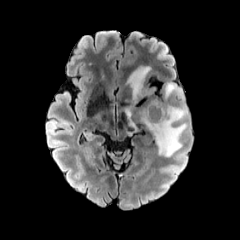
FLAIR magnetic resonance.
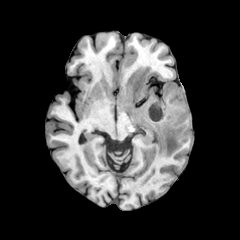
Same slice, T1-weighted MR image.
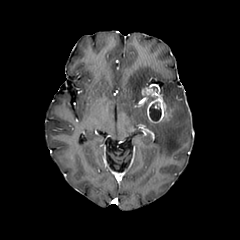
Post-contrast T1-weighted MR image of the same slice.
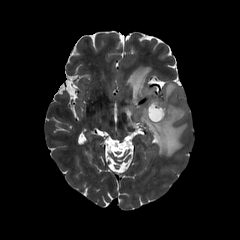
Same slice, T2-weighted MR.
<segmentation>
  <peritumoral_edema>region(165, 83, 183, 98); region(125, 107, 135, 127); region(140, 104, 187, 156); region(126, 66, 150, 103)</peritumoral_edema>
  <necrotic_tumor_core>region(149, 103, 161, 120)</necrotic_tumor_core>
  <enhancing_tumor>region(141, 87, 172, 122)</enhancing_tumor>
</segmentation>